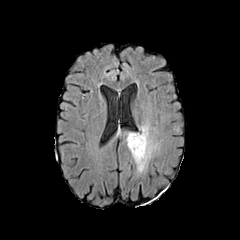
FLAIR MR.
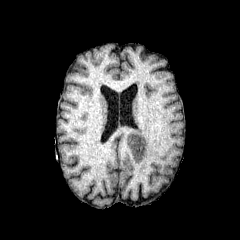
Same slice, T1-weighted MRI.
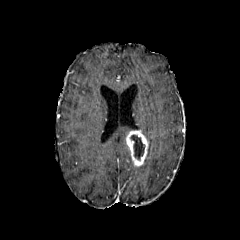
Post-contrast T1-weighted MR image of the same slice.
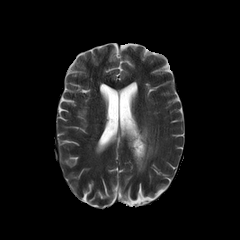
T2-weighted magnetic resonance of the same slice.
Axial view. Head.
{"enhancing_tumor": ["box(126, 130, 148, 166)"], "peritumoral_edema": ["box(136, 125, 158, 172)"], "necrotic_tumor_core": ["box(131, 135, 144, 159)"]}